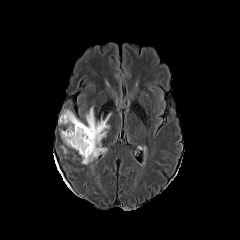
FLAIR MRI.
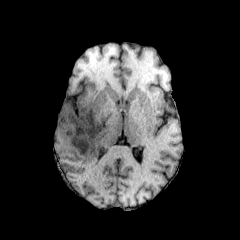
T1-weighted magnetic resonance.
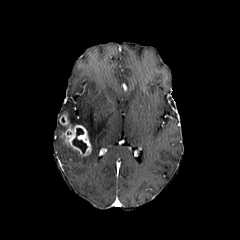
Same slice, post-contrast T1-weighted MR.
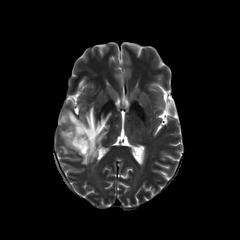
T2-weighted MR of the same slice.
Axial view
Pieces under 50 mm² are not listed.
peritumoral edema at (62, 107, 111, 164)
necrotic tumor core at (72, 128, 87, 153)
enhancing tumor at (59, 113, 91, 156)